Head; 240x240 px; Image width 240 mm, 1.00 mm slice spacing; Axial slice
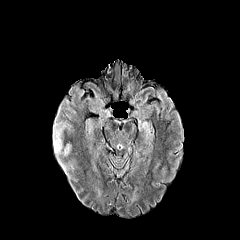
FLAIR MR image.
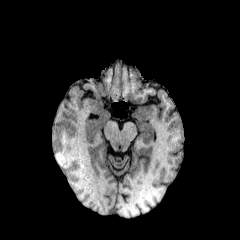
Same slice, T1-weighted MRI.
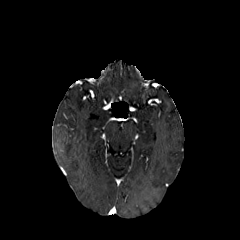
Post-contrast T1-weighted magnetic resonance.
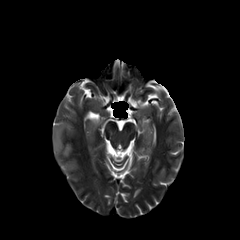
T2-weighted MRI.
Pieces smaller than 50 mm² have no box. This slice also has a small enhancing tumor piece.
peritumoral edema at l=54, t=123, r=62, b=149